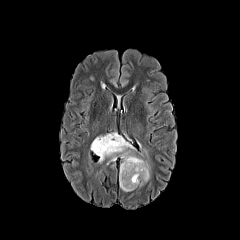
FLAIR MR.
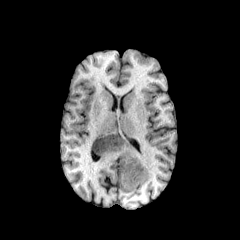
T1-weighted MR of the same slice.
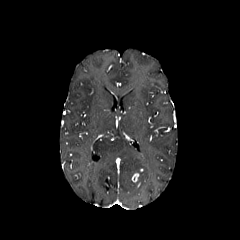
Same slice, post-contrast T1-weighted magnetic resonance.
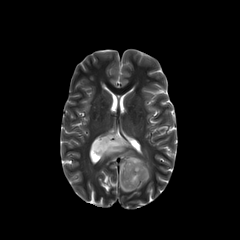
T2-weighted MR.
Brain | 240x240
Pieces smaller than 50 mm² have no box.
peritumoral edema = l=91, t=132, r=150, b=191
enhancing tumor = l=131, t=172, r=139, b=182